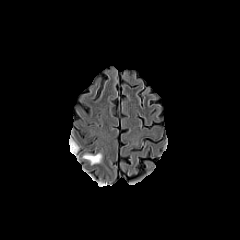
FLAIR magnetic resonance.
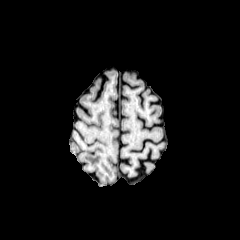
T1-weighted MR of the same slice.
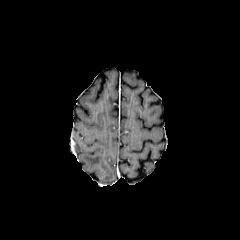
Same slice, post-contrast T1-weighted MR.
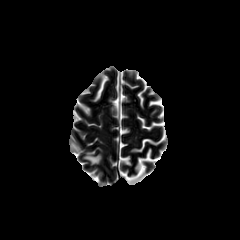
T2-weighted magnetic resonance of the same slice.
Image size 240x240 | Brain | Axial view
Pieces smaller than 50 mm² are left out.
peritumoral_edema:
  - 83 154 101 164